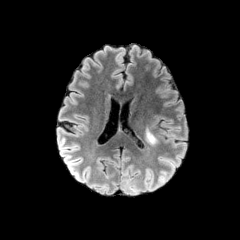
FLAIR magnetic resonance.
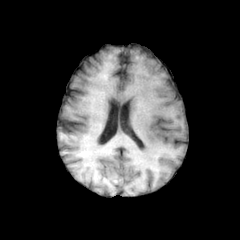
Same slice, T1-weighted MR image.
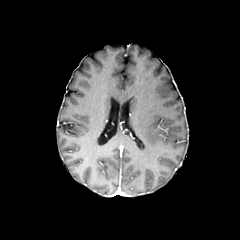
Same slice, post-contrast T1-weighted MR.
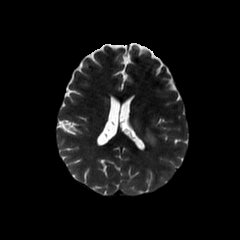
T2-weighted MR image of the same slice.
peritumoral edema: rect(146, 129, 157, 144)